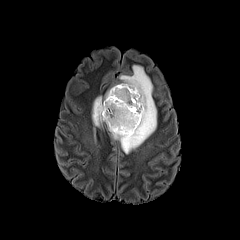
FLAIR MR image.
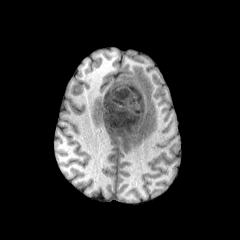
T1-weighted MR image.
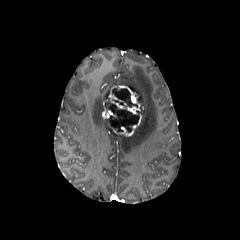
Post-contrast T1-weighted MRI.
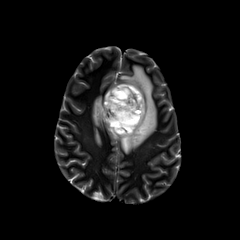
T2-weighted MR.
Head | Axial view
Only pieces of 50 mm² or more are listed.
The 3 largest enhancing tumor regions appear at {"x1": 102, "y1": 99, "x2": 116, "y2": 119}, {"x1": 110, "y1": 114, "x2": 141, "y2": 136}, {"x1": 109, "y1": 85, "x2": 140, "y2": 114}. The largest peritumoral edema region lies within {"x1": 92, "y1": 65, "x2": 156, "y2": 153}. The 2 largest necrotic tumor core regions are located at {"x1": 105, "y1": 95, "x2": 140, "y2": 132}, {"x1": 112, "y1": 87, "x2": 137, "y2": 107}.